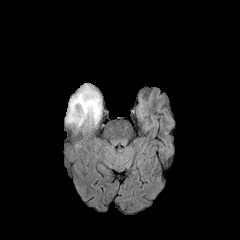
FLAIR MR.
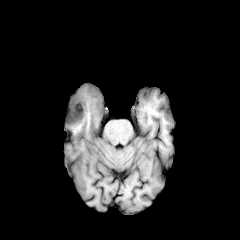
Same slice, T1-weighted MR.
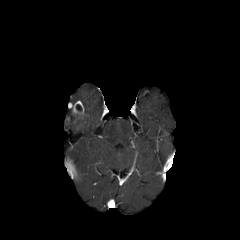
Post-contrast T1-weighted MR.
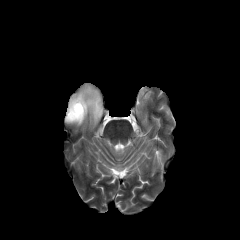
Same slice, T2-weighted MR.
240x240; Brain
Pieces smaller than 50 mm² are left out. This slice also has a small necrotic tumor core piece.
The largest peritumoral edema region is at [66,83,102,128]. The enhancing tumor is located at [66,100,84,122].